Head | 240x240 | Axial slice
FLAIR magnetic resonance.
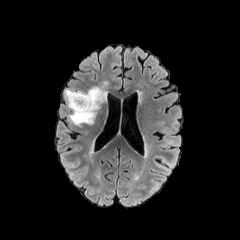
T1-weighted MRI.
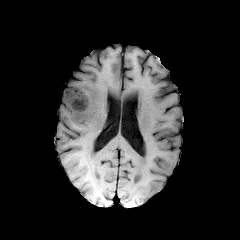
Post-contrast T1-weighted magnetic resonance.
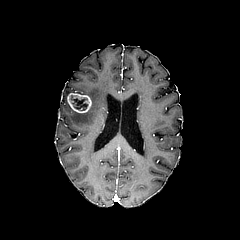
T2-weighted MRI.
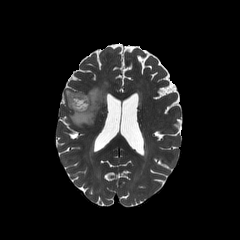
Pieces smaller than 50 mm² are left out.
peritumoral edema — l=64, t=81, r=108, b=125
necrotic tumor core — l=71, t=96, r=87, b=109
enhancing tumor — l=67, t=93, r=91, b=113